Axial plane
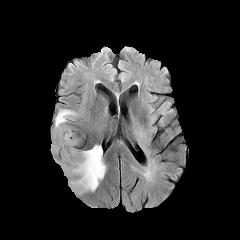
FLAIR MRI.
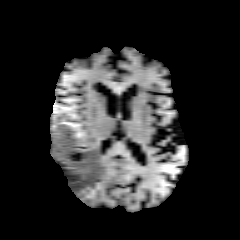
Same slice, T1-weighted magnetic resonance.
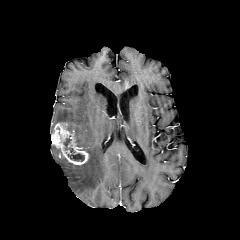
Same slice, post-contrast T1-weighted MR image.
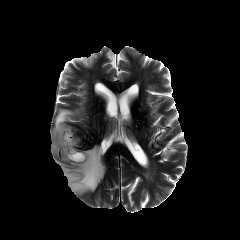
T2-weighted magnetic resonance of the same slice.
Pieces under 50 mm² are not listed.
peritumoral edema: (54,145,106,194), (55,109,77,124)
enhancing tumor: (51,123,88,165)
necrotic tumor core: (68,148,84,161)